240x240 | Axial view | Slice index 38
FLAIR MR image.
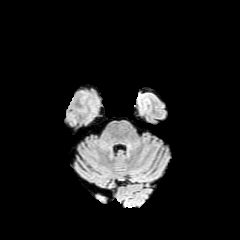
T1-weighted MRI.
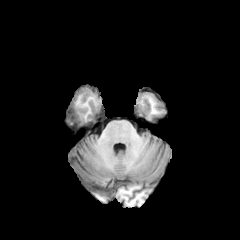
Post-contrast T1-weighted MR image.
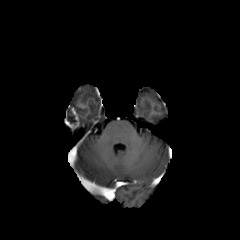
T2-weighted magnetic resonance.
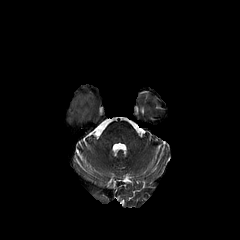
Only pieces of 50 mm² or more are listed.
<segmentation>
  <peritumoral_edema>(x1=72, y1=102, x2=85, y2=114)</peritumoral_edema>
  <necrotic_tumor_core>(x1=68, y1=109, x2=76, y2=121)</necrotic_tumor_core>
  <enhancing_tumor>(x1=65, y1=106, x2=79, y2=127)</enhancing_tumor>
</segmentation>